Brain, Image size 240x240, Slice 118 of 155
FLAIR MRI.
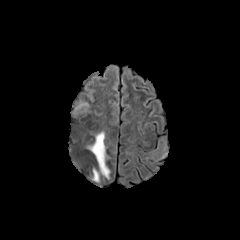
T1-weighted MRI.
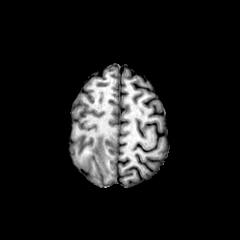
Post-contrast T1-weighted magnetic resonance.
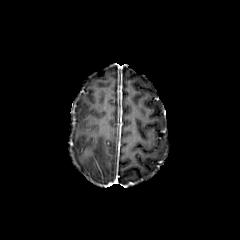
T2-weighted MRI.
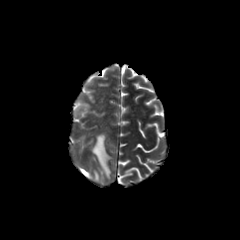
peritumoral edema: 93 170 99 182, 86 132 109 177